Axial view; 240x240 px
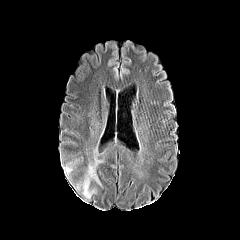
FLAIR magnetic resonance.
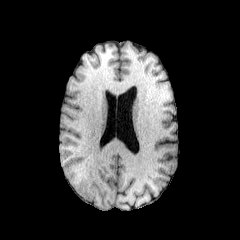
Same slice, T1-weighted magnetic resonance.
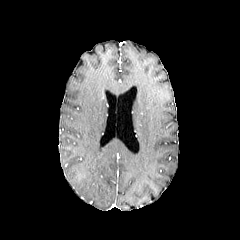
Post-contrast T1-weighted MR.
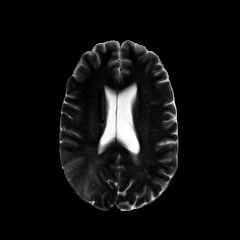
T2-weighted MR image of the same slice.
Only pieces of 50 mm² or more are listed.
peritumoral edema: (x1=77, y1=160, x2=100, y2=198)